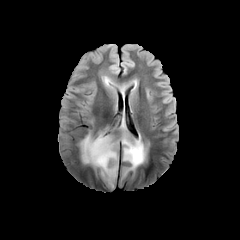
FLAIR magnetic resonance.
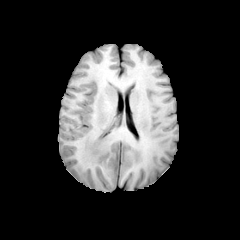
T1-weighted MR of the same slice.
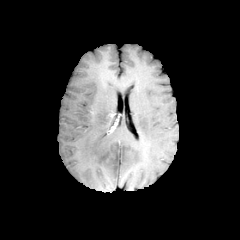
Post-contrast T1-weighted MR.
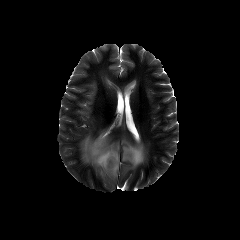
T2-weighted MR.
240x240, Head
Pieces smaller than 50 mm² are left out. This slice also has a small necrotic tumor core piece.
Segmented structures:
- peritumoral edema: x1=122 y1=135 x2=145 y2=173, x1=80 y1=132 x2=118 y2=179